FLAIR MRI.
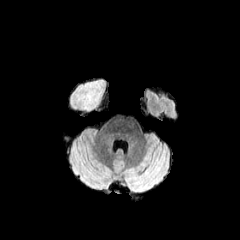
T1-weighted MR image.
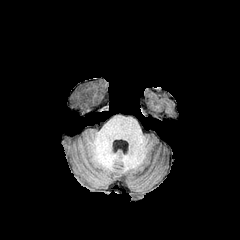
Post-contrast T1-weighted MRI.
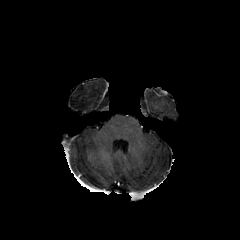
T2-weighted MR.
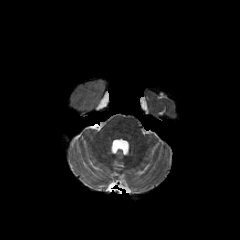
240x240.
{"peritumoral_edema": ["68 79 106 112"]}